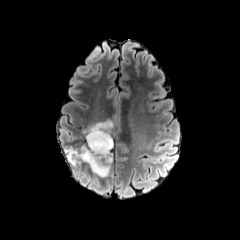
FLAIR MRI.
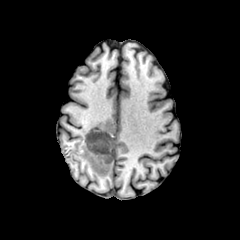
T1-weighted MR.
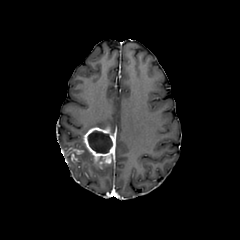
Same slice, post-contrast T1-weighted magnetic resonance.
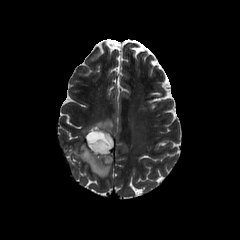
Same slice, T2-weighted MR.
Head
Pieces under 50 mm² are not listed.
The 2 largest peritumoral edema regions are bounded by x1=76, y1=144, x2=110, y2=176; x1=82, y1=119, x2=113, y2=134. The largest necrotic tumor core region is at x1=88, y1=130, x2=112, y2=153. 2 enhancing tumor regions are bounded by x1=84, y1=125, x2=114, y2=169; x1=67, y1=148, x2=83, y2=161.